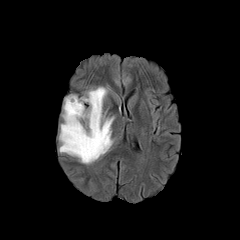
FLAIR MR.
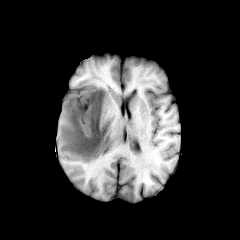
T1-weighted magnetic resonance of the same slice.
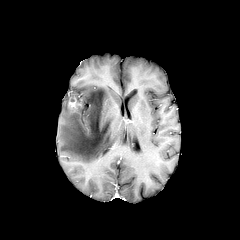
Post-contrast T1-weighted MR image.
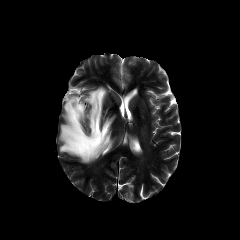
T2-weighted MRI.
Head | 240x240 px
Segmented structures:
* enhancing tumor: (68,98,81,111)
* peritumoral edema: (59,86,114,164)